FLAIR MRI.
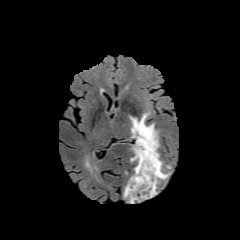
T1-weighted MRI.
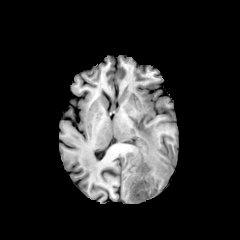
Post-contrast T1-weighted MR.
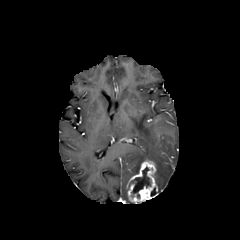
T2-weighted magnetic resonance.
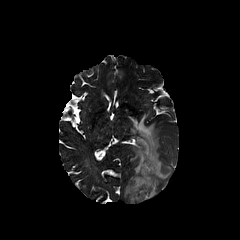
Head
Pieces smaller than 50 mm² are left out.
enhancing tumor: bbox=[126, 159, 157, 203]
necrotic tumor core: bbox=[129, 167, 150, 193]
peritumoral edema: bbox=[130, 113, 169, 185]